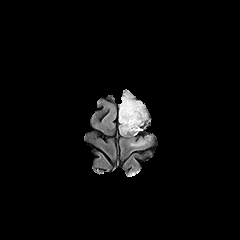
FLAIR MRI.
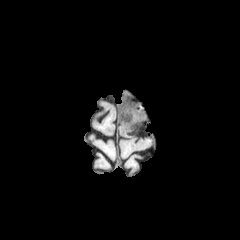
Same slice, T1-weighted MR image.
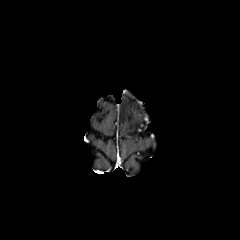
Post-contrast T1-weighted magnetic resonance.
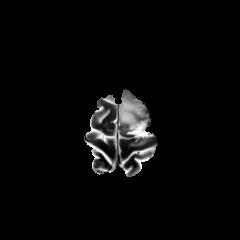
T2-weighted MRI.
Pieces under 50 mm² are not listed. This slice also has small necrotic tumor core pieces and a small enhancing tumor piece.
The 2 largest peritumoral edema regions are bounded by box=[119, 93, 145, 132]; box=[131, 140, 146, 145].